Axial view. Image size 240x240.
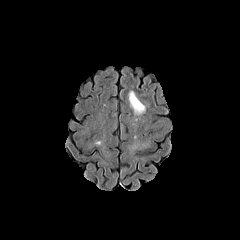
FLAIR magnetic resonance.
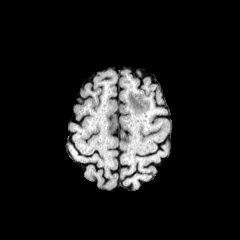
Same slice, T1-weighted MR.
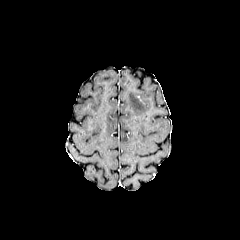
Post-contrast T1-weighted MRI.
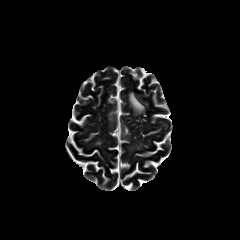
T2-weighted MRI.
peritumoral_edema:
  - x1=128 y1=91 x2=145 y2=114